FLAIR MR image.
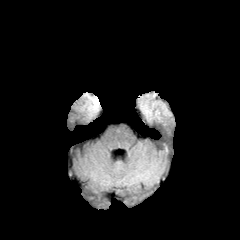
T1-weighted MRI.
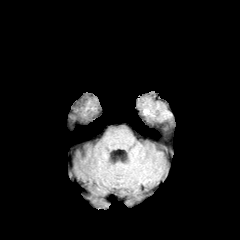
Post-contrast T1-weighted MR.
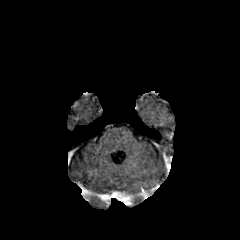
T2-weighted MR image.
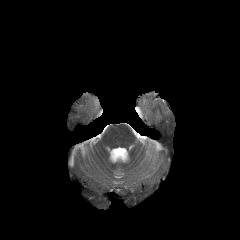
Axial view; 240x240 px; Brain
The peritumoral edema appears at rect(88, 96, 99, 116).